Slice index 54; Head
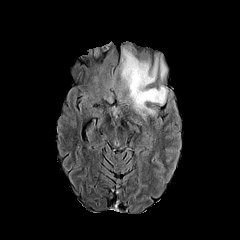
FLAIR MRI.
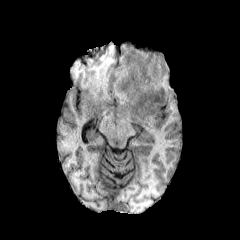
Same slice, T1-weighted MR.
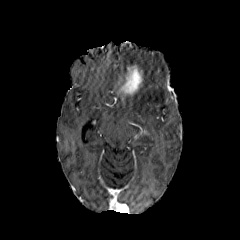
Same slice, post-contrast T1-weighted MR.
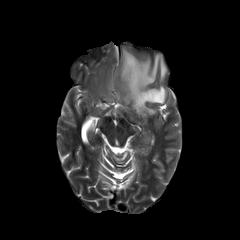
T2-weighted MR image.
enhancing_tumor:
  - <bbox>119, 64, 143, 95</bbox>
peritumoral_edema:
  - <bbox>89, 66, 100, 86</bbox>
  - <bbox>117, 45, 168, 121</bbox>